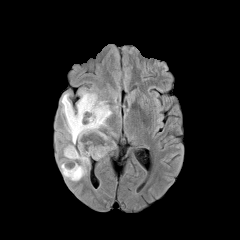
FLAIR MRI.
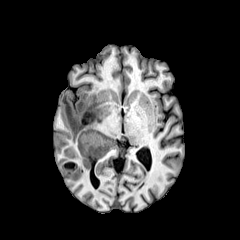
T1-weighted magnetic resonance.
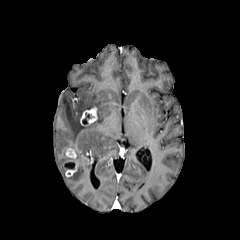
Post-contrast T1-weighted MR image.
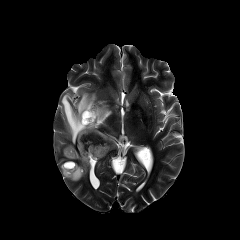
T2-weighted MRI.
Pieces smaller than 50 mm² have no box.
enhancing tumor — (64, 160, 77, 176), (65, 148, 76, 158), (80, 107, 97, 125)
necrotic tumor core — (63, 162, 75, 171)
peritumoral edema — (60, 90, 115, 181)